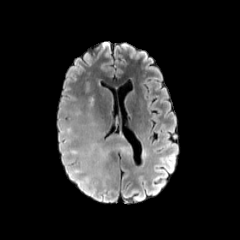
FLAIR magnetic resonance.
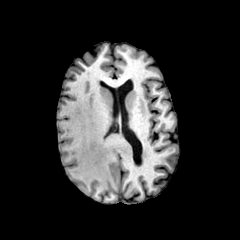
T1-weighted MRI.
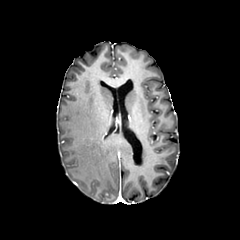
Post-contrast T1-weighted MR.
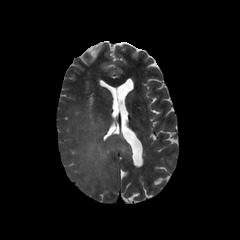
T2-weighted MRI of the same slice.
Head, 240x240, Axial plane
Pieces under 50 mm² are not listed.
<segmentation>
  <peritumoral_edema>(71,122,129,183)</peritumoral_edema>
</segmentation>